Axial slice.
FLAIR magnetic resonance.
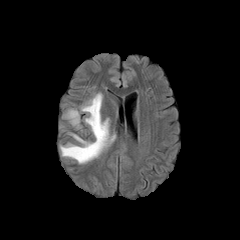
T1-weighted MR.
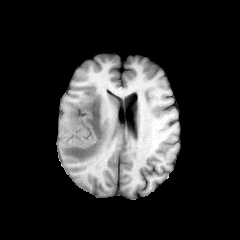
Post-contrast T1-weighted MR.
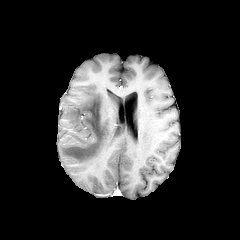
T2-weighted MR.
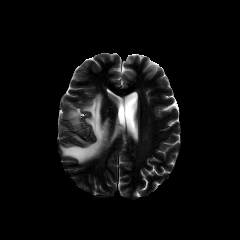
peritumoral edema: box=[60, 93, 115, 163]; box=[65, 109, 80, 128]